Image width 240 mm. Slice 57 of 155.
FLAIR magnetic resonance.
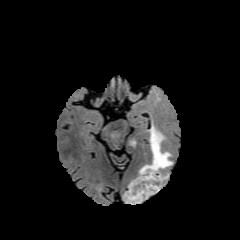
T1-weighted MRI.
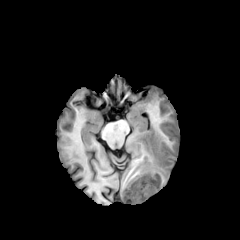
Post-contrast T1-weighted magnetic resonance.
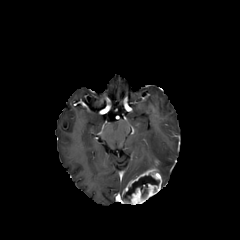
T2-weighted magnetic resonance.
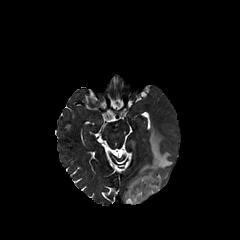
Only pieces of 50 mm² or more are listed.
The largest peritumoral edema region is at x1=139, y1=125, x2=172, y2=180. The largest enhancing tumor region is bounded by x1=123, y1=159, x2=162, y2=204. The necrotic tumor core is located at x1=124, y1=175, x2=159, y2=200.